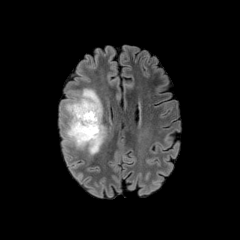
FLAIR MR image.
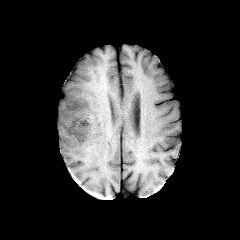
T1-weighted magnetic resonance.
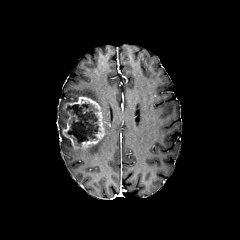
Post-contrast T1-weighted MRI.
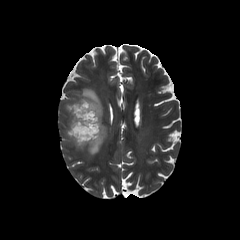
T2-weighted magnetic resonance.
Axial plane, Brain, Image size 240x240
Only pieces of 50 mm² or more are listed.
Segmented structures:
* necrotic tumor core: [x1=67, y1=103, x2=98, y2=145]
* enhancing tumor: [x1=62, y1=96, x2=104, y2=150]
* peritumoral edema: [x1=61, y1=129, x2=70, y2=152], [x1=60, y1=88, x2=102, y2=117], [x1=79, y1=125, x2=106, y2=155]